FLAIR MR.
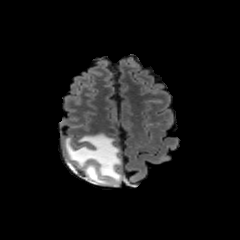
T1-weighted MRI.
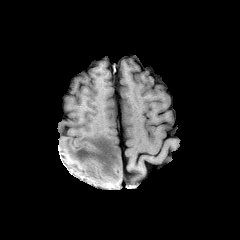
Post-contrast T1-weighted MR.
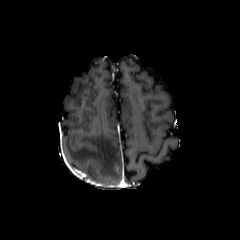
T2-weighted MR.
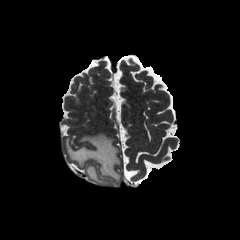
Axial plane; 240x240; Brain
{"peritumoral_edema": [{"x1": 65, "y1": 133, "x2": 123, "y2": 185}]}